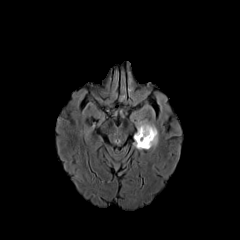
FLAIR MR image.
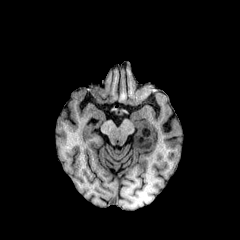
Same slice, T1-weighted MR.
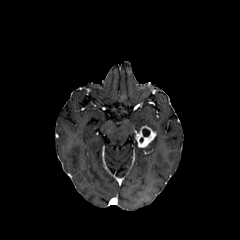
Same slice, post-contrast T1-weighted magnetic resonance.
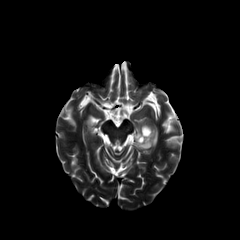
T2-weighted MRI.
Axial plane. 240x240.
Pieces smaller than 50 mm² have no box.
The largest necrotic tumor core region is located at (142, 128, 149, 136). The peritumoral edema is located at (133, 118, 158, 149). The enhancing tumor lies within (135, 125, 156, 147).